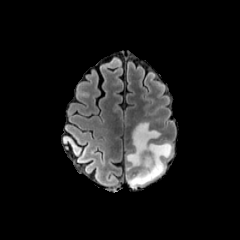
FLAIR MR.
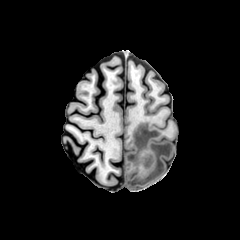
T1-weighted MR image of the same slice.
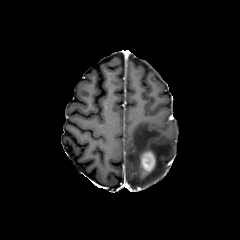
Post-contrast T1-weighted magnetic resonance of the same slice.
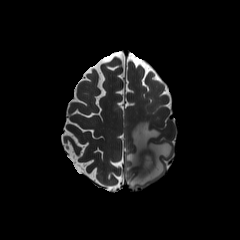
T2-weighted MR of the same slice.
Axial view, 240x240
{"enhancing_tumor": ["140, 150, 156, 178"], "peritumoral_edema": ["126, 122, 173, 188"]}